FLAIR MR image.
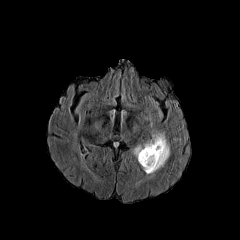
T1-weighted magnetic resonance.
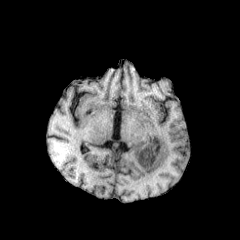
Post-contrast T1-weighted MRI.
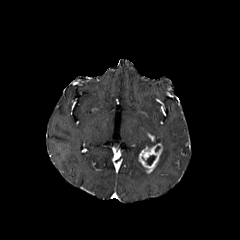
T2-weighted MR image.
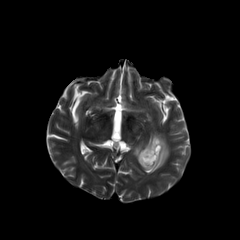
Head, Axial slice
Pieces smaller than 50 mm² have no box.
enhancing tumor: bounding box (x1=138, y1=143, x2=162, y2=173)
peritumoral edema: bounding box (x1=133, y1=131, x2=170, y2=173)
necrotic tumor core: bounding box (x1=142, y1=155, x2=156, y2=165)